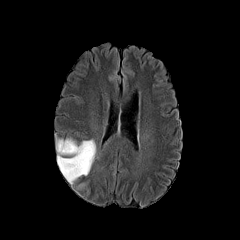
FLAIR MR.
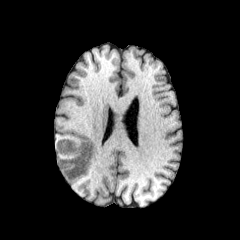
T1-weighted MRI.
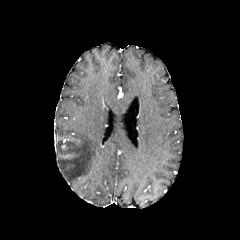
Same slice, post-contrast T1-weighted MR.
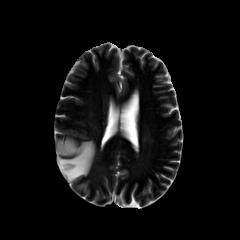
Same slice, T2-weighted MR image.
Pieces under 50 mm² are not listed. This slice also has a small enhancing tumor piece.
2 peritumoral edema regions appear at [56, 139, 96, 184], [76, 181, 88, 190].